Image covers 240 mm x 240 mm. Slice 100 of 155.
FLAIR magnetic resonance.
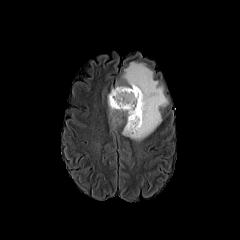
T1-weighted MR.
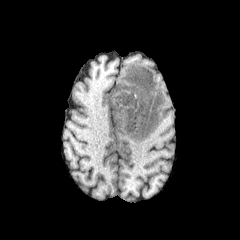
Post-contrast T1-weighted MR image.
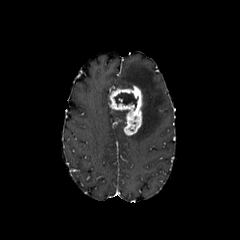
T2-weighted MR.
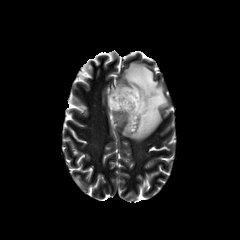
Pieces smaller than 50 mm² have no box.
enhancing tumor at <bbox>108, 85, 142, 135</bbox>
necrotic tumor core at <bbox>114, 92, 138, 109</bbox>
peritumoral edema at <bbox>109, 107, 126, 131</bbox>, <bbox>116, 61, 168, 141</bbox>